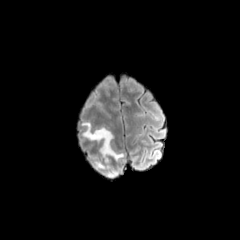
FLAIR MRI.
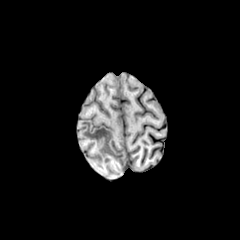
T1-weighted magnetic resonance of the same slice.
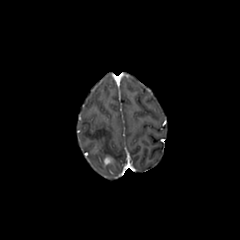
Post-contrast T1-weighted magnetic resonance.
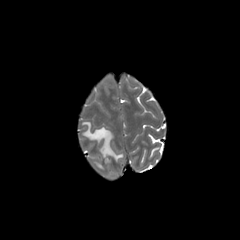
T2-weighted MR image of the same slice.
Axial view; Head
<segmentation>
  <enhancing_tumor>box(103, 157, 112, 166)</enhancing_tumor>
  <peritumoral_edema>box(92, 159, 116, 176); box(81, 122, 123, 161)</peritumoral_edema>
</segmentation>